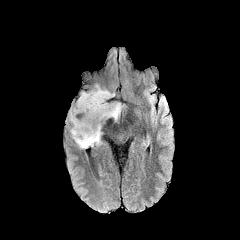
FLAIR magnetic resonance.
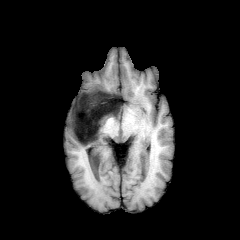
T1-weighted magnetic resonance.
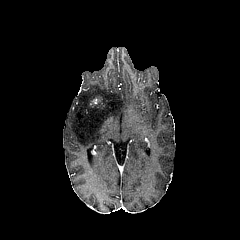
Post-contrast T1-weighted MR image of the same slice.
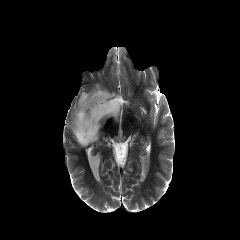
T2-weighted magnetic resonance.
Image size 240x240 | Axial plane | Head
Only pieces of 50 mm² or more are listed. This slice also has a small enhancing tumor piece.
The peritumoral edema lies within rect(67, 84, 123, 148).